FLAIR MRI.
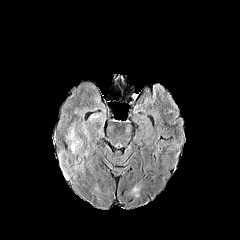
T1-weighted MRI.
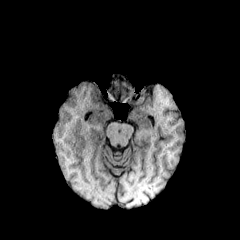
Post-contrast T1-weighted MR image.
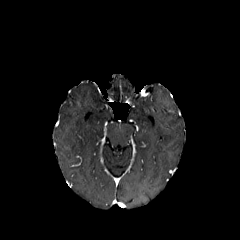
T2-weighted MR.
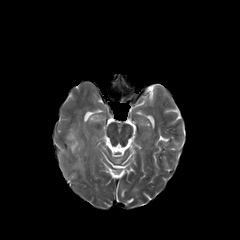
Brain
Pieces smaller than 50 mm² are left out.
<segmentation>
  <peritumoral_edema>(left=59, top=150, right=71, bottom=177), (left=73, top=161, right=86, bottom=177), (left=68, top=129, right=78, bottom=152)</peritumoral_edema>
</segmentation>